FLAIR MR.
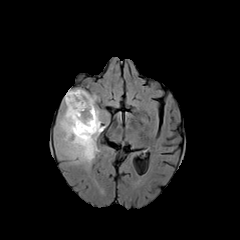
T1-weighted MRI.
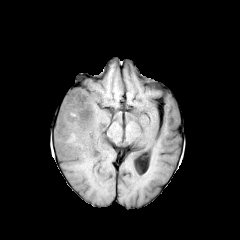
Post-contrast T1-weighted magnetic resonance.
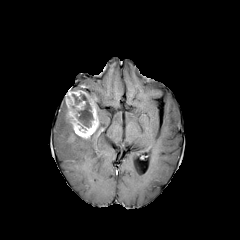
T2-weighted MR image.
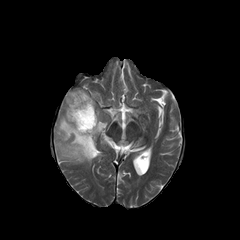
Axial plane. Image size 240x240. Head.
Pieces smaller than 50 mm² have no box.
peritumoral edema: 56 105 105 163 | necrotic tumor core: 72 94 93 127 | enhancing tumor: 65 90 99 139